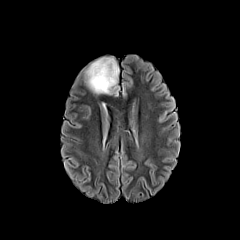
FLAIR MR.
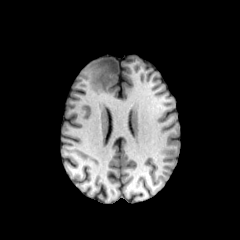
T1-weighted magnetic resonance.
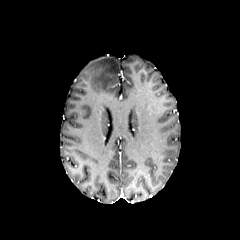
Post-contrast T1-weighted magnetic resonance.
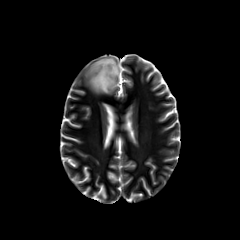
T2-weighted MR image.
Image size 240x240 | Axial view
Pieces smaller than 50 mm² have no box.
peritumoral edema: bounding box l=85, t=57, r=119, b=94